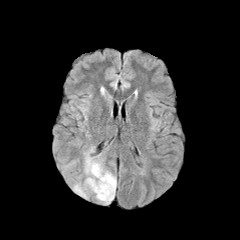
FLAIR MRI.
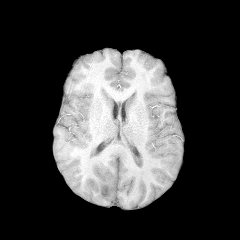
T1-weighted MR.
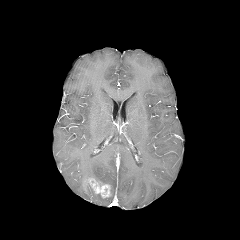
Same slice, post-contrast T1-weighted MR image.
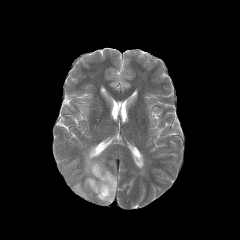
T2-weighted MR.
240x240 px
The enhancing tumor is at (x1=86, y1=178, x2=111, y2=197). The peritumoral edema is bounded by (x1=72, y1=146, x2=116, y2=204).